Head | Image covers 240 mm x 240 mm
FLAIR MR.
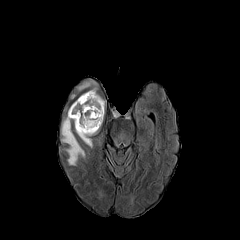
T1-weighted MRI.
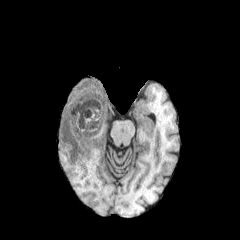
Post-contrast T1-weighted MR image.
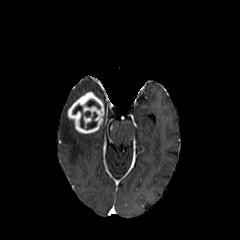
T2-weighted MR image.
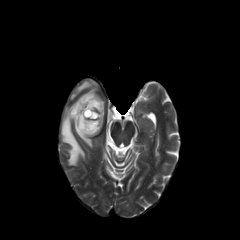
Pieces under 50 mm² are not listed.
enhancing tumor — box(67, 91, 104, 133)
peritumoral edema — box(61, 115, 85, 165); box(75, 129, 96, 147); box(77, 80, 101, 98)
necrotic tumor core — box(86, 112, 97, 129); box(86, 99, 100, 108); box(72, 105, 90, 128)